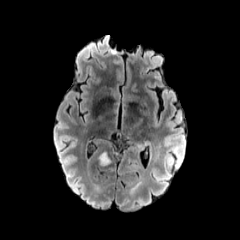
FLAIR magnetic resonance.
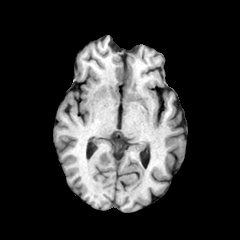
T1-weighted MRI.
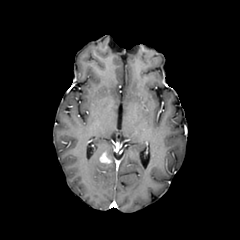
Post-contrast T1-weighted MR image.
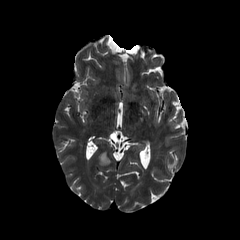
Same slice, T2-weighted magnetic resonance.
Head, Axial view
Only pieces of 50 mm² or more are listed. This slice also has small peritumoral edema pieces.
enhancing tumor at bbox(99, 152, 111, 163)